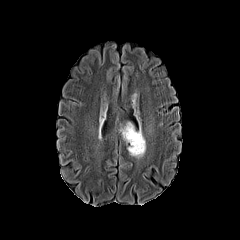
FLAIR MR image.
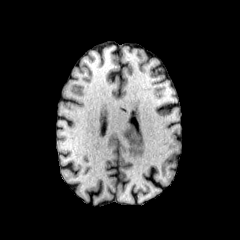
T1-weighted MR image of the same slice.
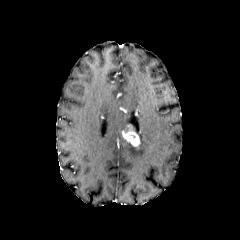
Same slice, post-contrast T1-weighted MR.
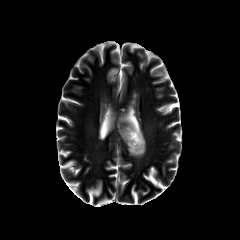
T2-weighted MRI.
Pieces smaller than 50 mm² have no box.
peritumoral_edema:
  - 128 131 145 157
enhancing_tumor:
  - 121 125 140 148